FLAIR MR.
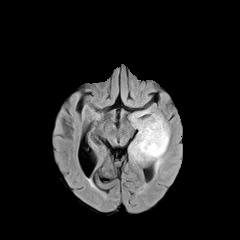
T1-weighted MR.
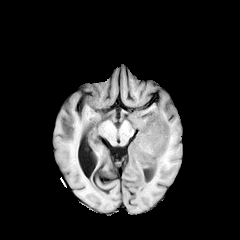
Post-contrast T1-weighted MR image.
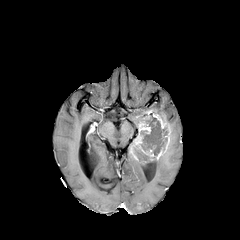
T2-weighted MR image.
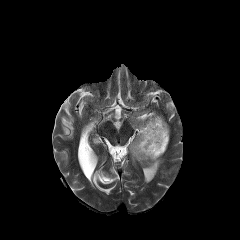
Head | Axial slice | 240x240
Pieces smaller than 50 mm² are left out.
The 2 largest necrotic tumor core regions are located at <bbox>134, 148, 148, 157</bbox>, <bbox>137, 115, 168, 155</bbox>. The 2 largest peritumoral edema regions are bounded by <bbox>129, 108, 157, 136</bbox>, <bbox>128, 146, 163, 163</bbox>. The largest enhancing tumor region is at <bbox>130, 113, 170, 159</bbox>.